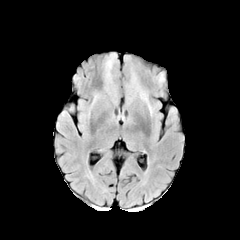
FLAIR MR image.
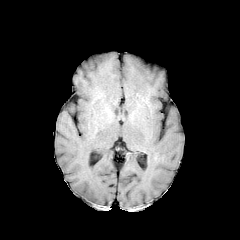
Same slice, T1-weighted MR.
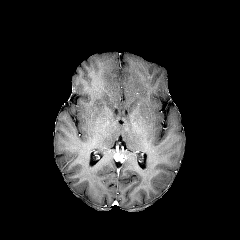
Post-contrast T1-weighted MRI.
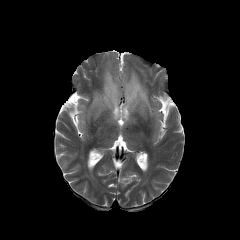
T2-weighted MR image of the same slice.
Brain
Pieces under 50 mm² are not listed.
The 2 largest peritumoral edema regions are bounded by 104,58,117,104; 125,72,153,114.